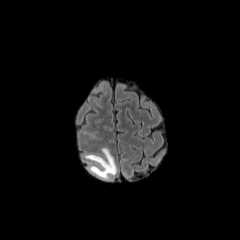
FLAIR MR image.
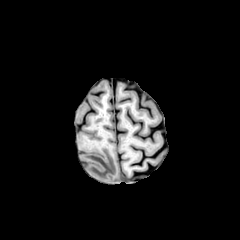
T1-weighted MR.
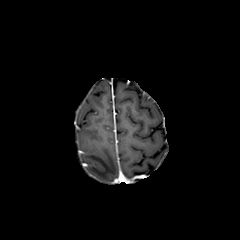
Post-contrast T1-weighted MR image.
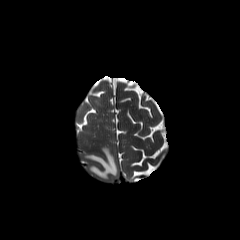
Same slice, T2-weighted MRI.
Axial slice
peritumoral_edema:
  - [x1=85, y1=148, x2=116, y2=179]